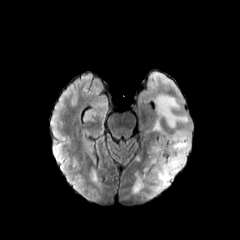
FLAIR MR.
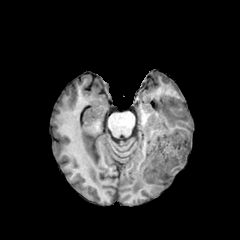
T1-weighted MR image.
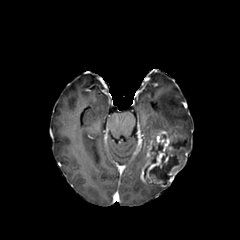
Post-contrast T1-weighted MRI.
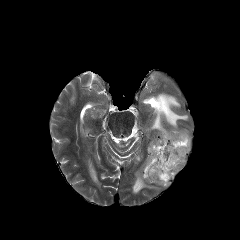
T2-weighted MR image of the same slice.
Head. Image size 240x240. Axial slice.
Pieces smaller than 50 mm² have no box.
{"peritumoral_edema": ["[152, 94, 190, 151]", "[132, 171, 165, 193]"], "necrotic_tumor_core": ["[144, 142, 163, 178]", "[149, 138, 185, 184]"], "enhancing_tumor": ["[140, 130, 188, 187]"]}